FLAIR MRI.
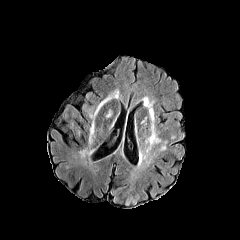
T1-weighted MRI.
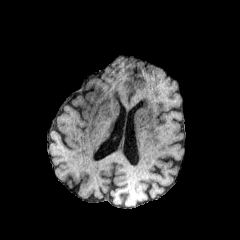
Post-contrast T1-weighted magnetic resonance.
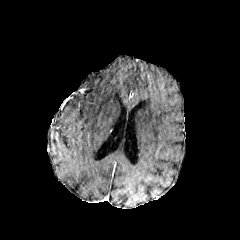
T2-weighted MR image.
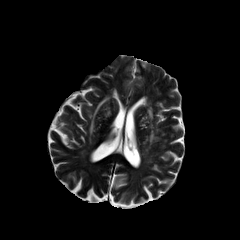
Head. Axial plane.
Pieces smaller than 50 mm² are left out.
The largest peritumoral edema region is at left=89, top=94, right=112, bottom=143.